Brain, Axial plane, Slice index 87, 240x240
FLAIR MR.
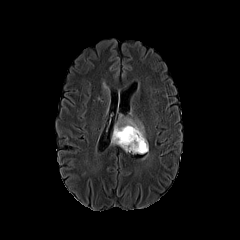
T1-weighted MRI.
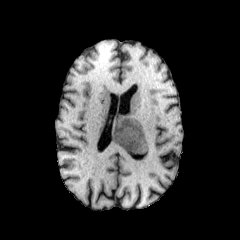
Post-contrast T1-weighted MR.
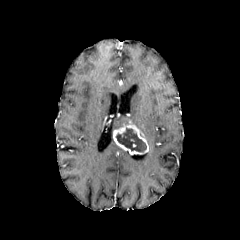
T2-weighted MR image.
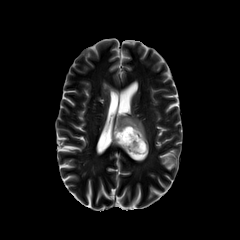
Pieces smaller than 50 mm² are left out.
peritumoral edema = [114, 116, 145, 137]
enhancing tumor = [113, 120, 148, 154]
necrotic tumor core = [116, 128, 146, 151]